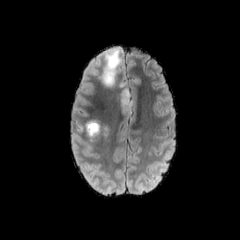
FLAIR MR image.
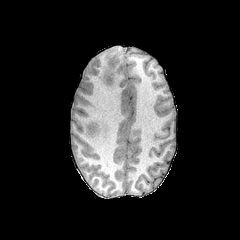
T1-weighted MR.
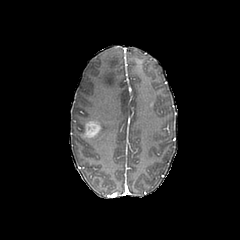
Post-contrast T1-weighted magnetic resonance.
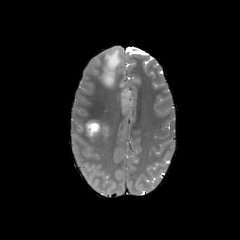
Same slice, T2-weighted MR image.
Image size 240x240, Axial view
* enhancing tumor: (x1=84, y1=120, x2=101, y2=138)
* peritumoral edema: (x1=73, y1=113, x2=110, y2=145), (x1=99, y1=48, x2=136, y2=121)